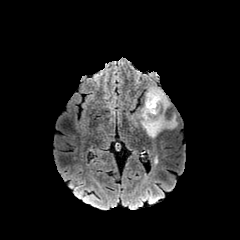
FLAIR MRI.
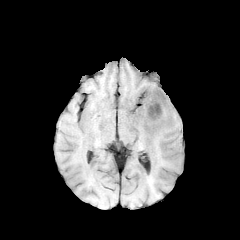
Same slice, T1-weighted MRI.
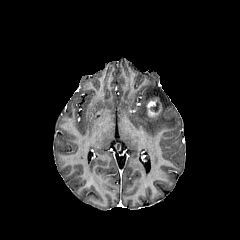
Post-contrast T1-weighted magnetic resonance of the same slice.
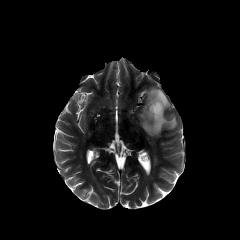
T2-weighted MR of the same slice.
Head | Image size 240x240
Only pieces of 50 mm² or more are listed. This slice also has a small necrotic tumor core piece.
enhancing tumor: bounding box (x1=146, y1=98, x2=161, y2=117)
peritumoral edema: bounding box (x1=138, y1=87, x2=177, y2=137)